FLAIR magnetic resonance.
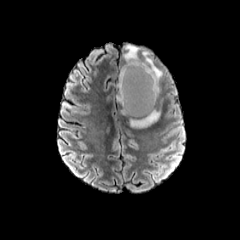
T1-weighted MRI.
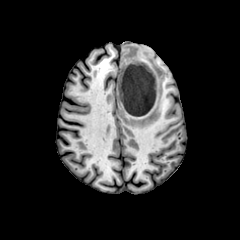
Post-contrast T1-weighted MR image.
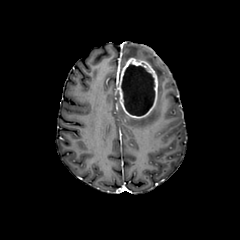
T2-weighted magnetic resonance.
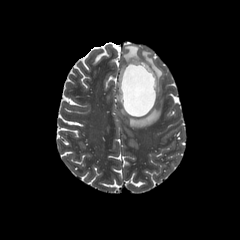
Brain. Axial plane. Image size 240x240.
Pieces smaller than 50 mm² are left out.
The necrotic tumor core lies within (x1=121, y1=64, x2=154, y2=116). The enhancing tumor is located at (x1=118, y1=58, x2=157, y2=118). The 3 largest peritumoral edema regions are bounded by (x1=141, y1=51, x2=163, y2=94), (x1=123, y1=45, x2=141, y2=61), (x1=129, y1=108, x2=160, y2=127).